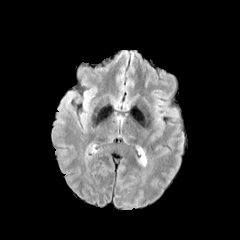
FLAIR MR.
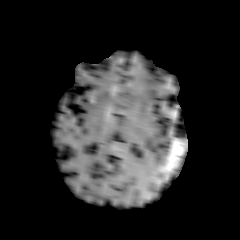
Same slice, T1-weighted MRI.
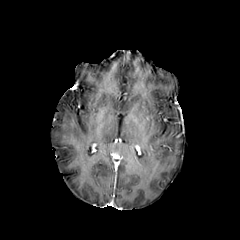
Post-contrast T1-weighted magnetic resonance of the same slice.
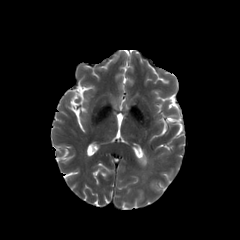
T2-weighted MR.
Axial view
Annotated regions:
• peritumoral edema: <box>139,148,147,166</box>